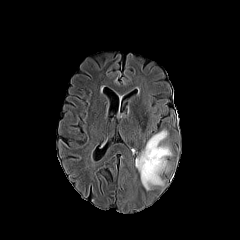
FLAIR MR image.
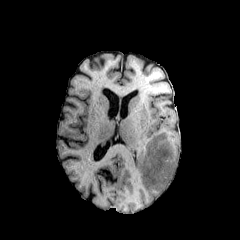
Same slice, T1-weighted MR.
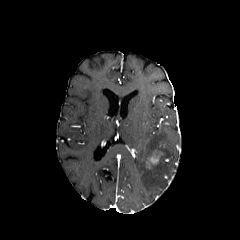
Post-contrast T1-weighted MR.
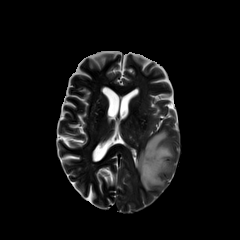
T2-weighted MRI of the same slice.
Image size 240x240.
enhancing tumor at 147,151,162,167
peritumoral edema at 135,130,172,190